Brain | Slice 108 of 155 | Axial slice
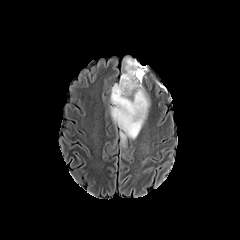
FLAIR MR image.
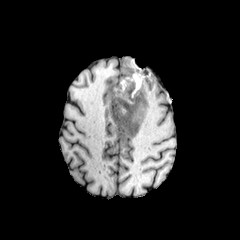
T1-weighted MRI.
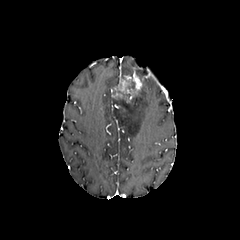
Post-contrast T1-weighted MR image of the same slice.
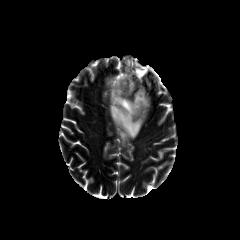
T2-weighted MR.
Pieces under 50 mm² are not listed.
peritumoral edema: bbox=[109, 83, 150, 147]; bbox=[121, 56, 141, 78] | necrotic tumor core: bbox=[114, 98, 128, 109]; bbox=[136, 69, 144, 79] | enhancing tumor: bbox=[111, 67, 142, 102]